Axial plane.
FLAIR magnetic resonance.
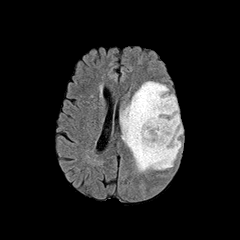
T1-weighted magnetic resonance.
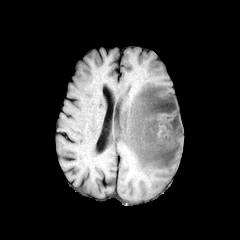
Post-contrast T1-weighted MRI.
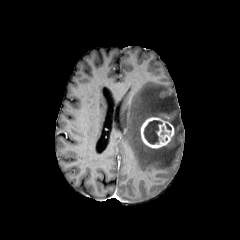
T2-weighted MRI.
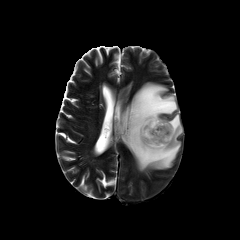
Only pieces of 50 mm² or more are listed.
peritumoral edema: bounding box region(120, 81, 182, 171)
necrotic tumor core: bounding box region(144, 120, 162, 144)
enhancing tumor: bounding box region(140, 117, 174, 148)